Slice 63/155. 240x240. Brain.
FLAIR MR.
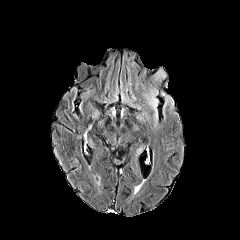
T1-weighted MR image.
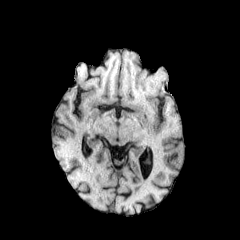
Post-contrast T1-weighted MR.
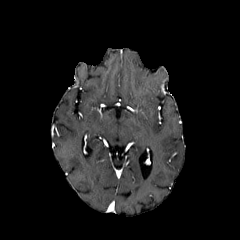
T2-weighted MR image.
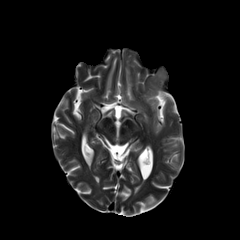
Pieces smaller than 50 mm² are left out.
The largest peritumoral edema region lies within x1=149 y1=98 x2=157 y2=113.